FLAIR magnetic resonance.
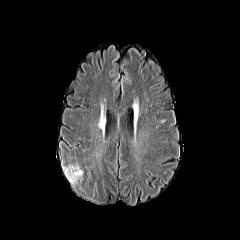
T1-weighted MR.
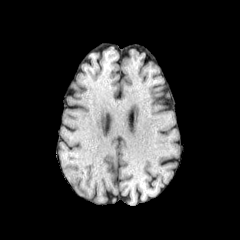
Post-contrast T1-weighted magnetic resonance.
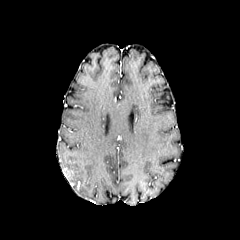
T2-weighted MR.
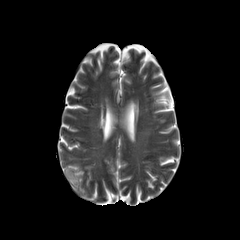
Head
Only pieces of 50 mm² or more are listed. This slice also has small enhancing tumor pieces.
Findings:
- peritumoral edema: (left=63, top=164, right=83, bottom=184)